Head
FLAIR magnetic resonance.
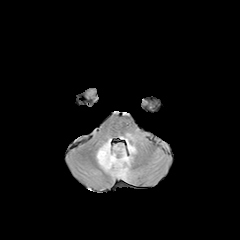
T1-weighted MR image.
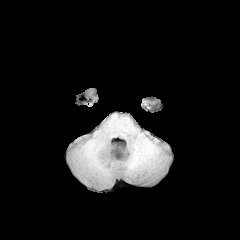
Post-contrast T1-weighted MRI.
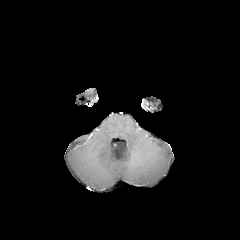
T2-weighted magnetic resonance.
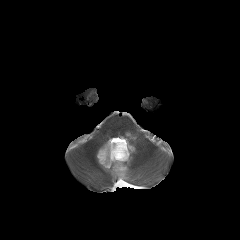
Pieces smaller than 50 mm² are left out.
peritumoral_edema:
  - 96 139 135 179